FLAIR MR image.
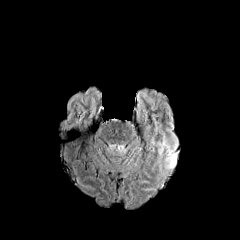
T1-weighted MR.
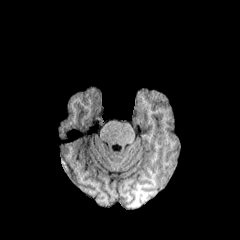
Post-contrast T1-weighted MR.
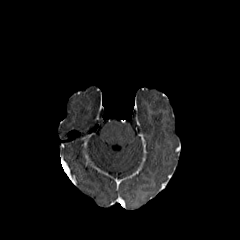
T2-weighted magnetic resonance.
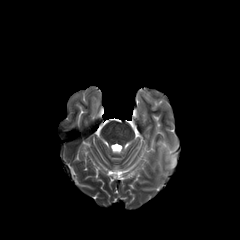
Axial plane
peritumoral edema: <box>158,135,177,169</box>